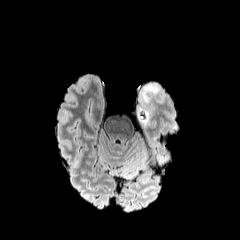
FLAIR magnetic resonance.
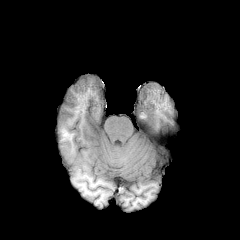
T1-weighted MR.
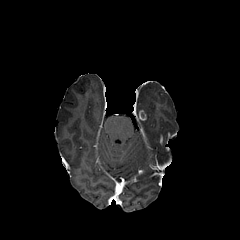
Same slice, post-contrast T1-weighted MR.
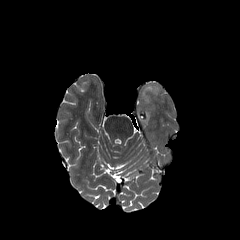
T2-weighted MRI.
Head, 240x240
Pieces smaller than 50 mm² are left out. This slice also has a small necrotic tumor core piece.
Segmented structures:
- enhancing tumor: bbox(139, 110, 146, 120)
- peritumoral edema: bbox(142, 84, 158, 102); bbox(137, 109, 148, 123)